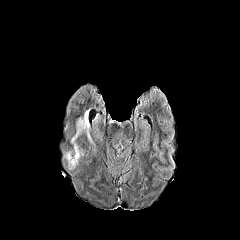
FLAIR MR.
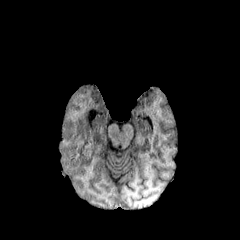
Same slice, T1-weighted MRI.
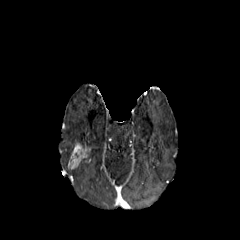
Post-contrast T1-weighted MR image.
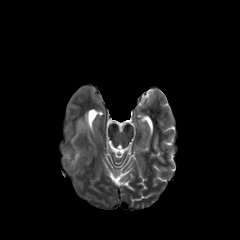
T2-weighted MRI.
Brain; 240x240 px; Axial view
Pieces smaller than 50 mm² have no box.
The largest peritumoral edema region appears at x1=71 y1=111 x2=89 y2=145. The enhancing tumor is bounded by x1=68 y1=142 x2=90 y2=169.